Axial view; Head
FLAIR MR.
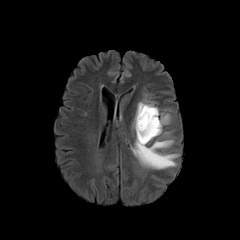
T1-weighted magnetic resonance.
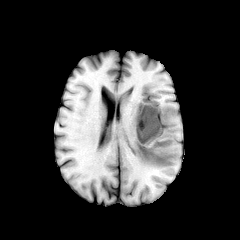
Post-contrast T1-weighted MR.
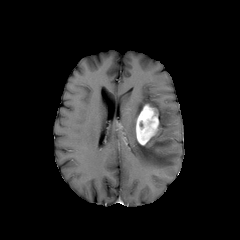
T2-weighted magnetic resonance.
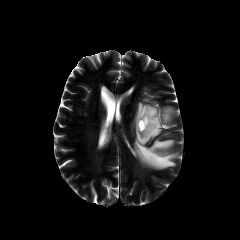
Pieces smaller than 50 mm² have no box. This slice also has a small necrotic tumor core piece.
<segmentation>
  <enhancing_tumor>x1=136, y1=104, x2=159, y2=145</enhancing_tumor>
  <peritumoral_edema>x1=132, y1=100, x2=159, y2=132; x1=131, y1=138, x2=179, y2=169; x1=149, y1=108, x2=171, y2=141</peritumoral_edema>
</segmentation>